Axial slice; Head; Slice index 124
FLAIR MR.
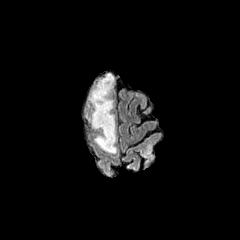
T1-weighted MRI.
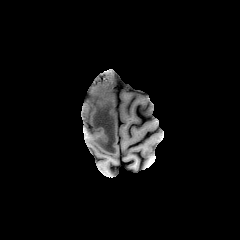
Post-contrast T1-weighted magnetic resonance.
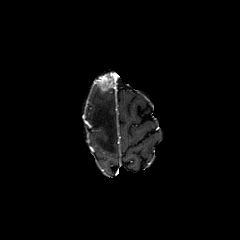
T2-weighted MR.
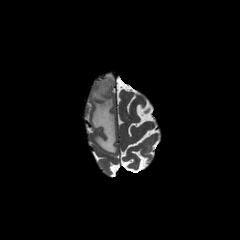
The enhancing tumor appears at x1=94 y1=72 x2=115 y2=93. The peritumoral edema is at x1=89 y1=86 x2=116 y2=153.